240x240. Slice 24 of 155. Axial plane. Brain.
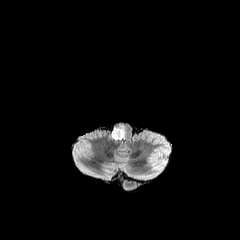
FLAIR MR image.
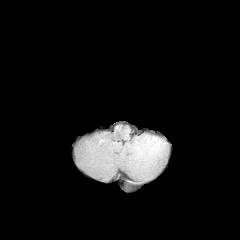
T1-weighted MR image.
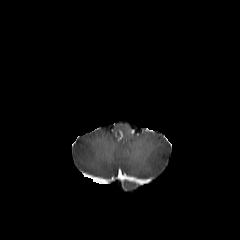
Post-contrast T1-weighted MRI.
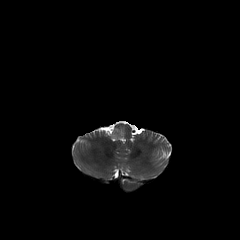
T2-weighted MR image of the same slice.
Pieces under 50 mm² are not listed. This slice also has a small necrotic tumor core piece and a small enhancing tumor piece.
peritumoral edema: 111,124,125,140